FLAIR MR image.
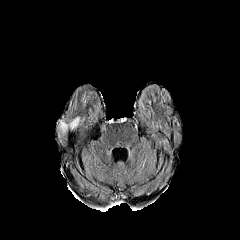
T1-weighted MR.
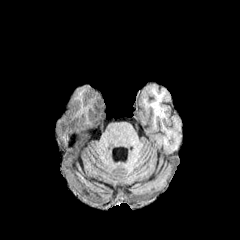
Post-contrast T1-weighted MR.
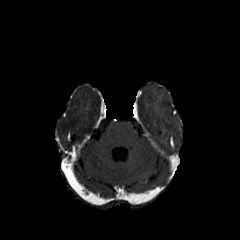
T2-weighted MR.
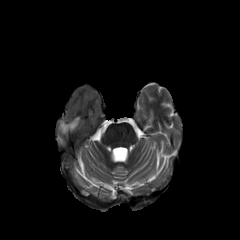
240x240. Head.
The peritumoral edema is at 61,118,78,131.